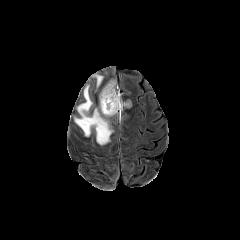
FLAIR MRI.
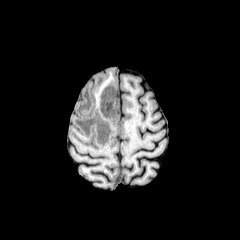
Same slice, T1-weighted magnetic resonance.
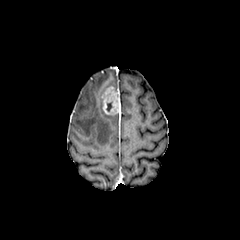
Post-contrast T1-weighted MR image.
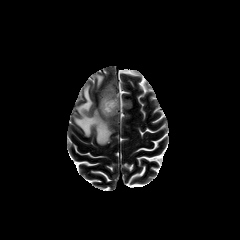
Same slice, T2-weighted MRI.
Axial plane; Brain; 240x240 px
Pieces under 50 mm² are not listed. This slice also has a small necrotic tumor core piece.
peritumoral edema = 100 80 115 116, 74 85 113 145, 94 74 103 86
enhancing tumor = 102 86 121 114